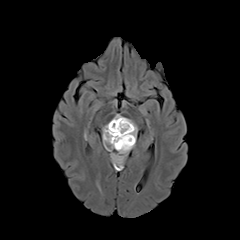
FLAIR MR.
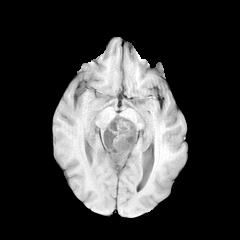
Same slice, T1-weighted magnetic resonance.
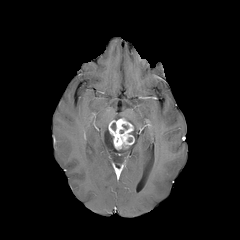
Post-contrast T1-weighted MR of the same slice.
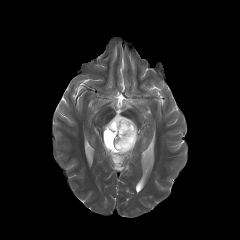
T2-weighted MR of the same slice.
Axial view; Brain
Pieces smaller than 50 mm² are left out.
enhancing_tumor:
  - [107, 118, 134, 150]
necrotic_tumor_core:
  - [105, 130, 114, 147]
peritumoral_edema:
  - [102, 114, 137, 168]